Image size 240x240; Slice index 89; Image width 240 mm; Axial view
FLAIR MRI.
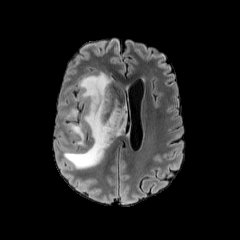
T1-weighted MR image.
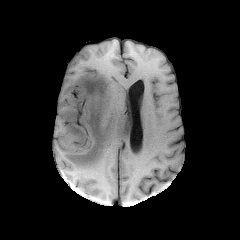
Post-contrast T1-weighted MR image.
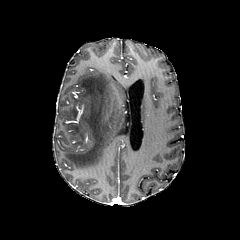
T2-weighted MRI.
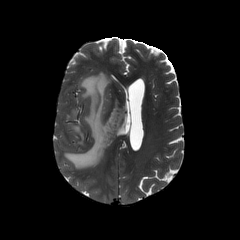
Annotated regions:
* peritumoral edema: [67, 108, 77, 118], [64, 72, 126, 169]